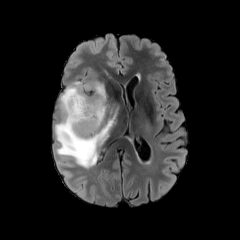
FLAIR MR.
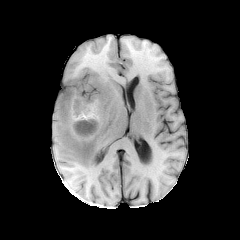
Same slice, T1-weighted MR.
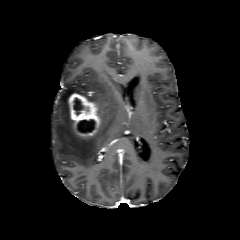
Same slice, post-contrast T1-weighted magnetic resonance.
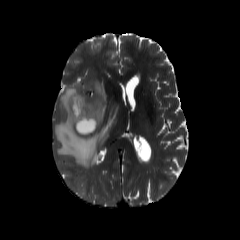
T2-weighted MR.
Head.
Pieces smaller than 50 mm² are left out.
<segmentation>
  <peritumoral_edema>box=[54, 81, 116, 168]</peritumoral_edema>
  <necrotic_tumor_core>box=[76, 119, 95, 133]; box=[73, 97, 84, 114]</necrotic_tumor_core>
  <enhancing_tumor>box=[68, 92, 101, 137]</enhancing_tumor>
</segmentation>